Image size 240x240; Image width 240 mm; Head
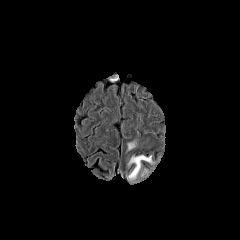
FLAIR MRI.
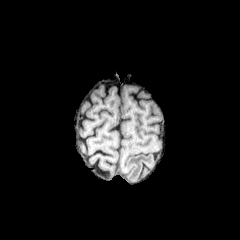
Same slice, T1-weighted MRI.
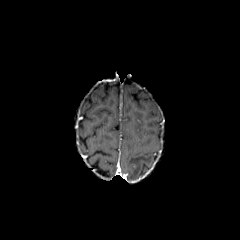
Post-contrast T1-weighted MR.
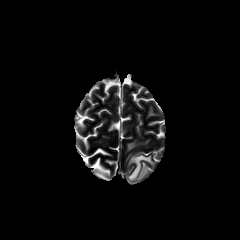
Same slice, T2-weighted MRI.
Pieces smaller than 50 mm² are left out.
Findings:
• peritumoral edema: bbox=[128, 142, 135, 150]; bbox=[127, 153, 152, 180]